FLAIR MRI.
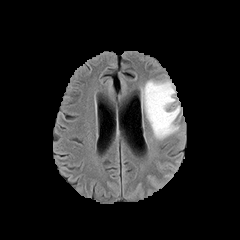
T1-weighted MR image.
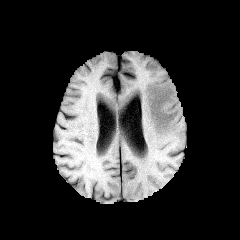
Post-contrast T1-weighted MRI.
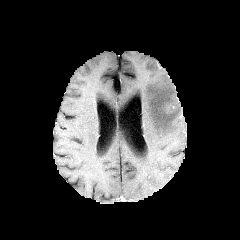
T2-weighted MR.
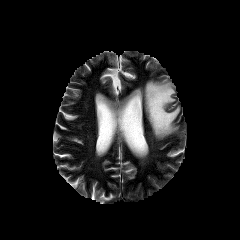
Annotated regions:
- peritumoral edema: bbox(142, 80, 180, 139)